240x240 px; Slice 86 of 155; Brain; Axial view
FLAIR MR image.
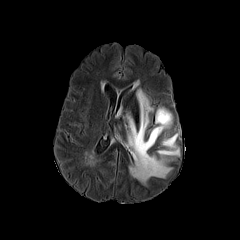
T1-weighted magnetic resonance.
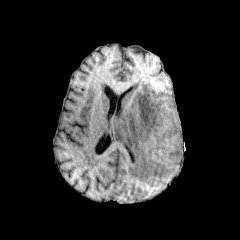
Post-contrast T1-weighted MR.
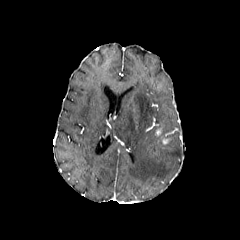
T2-weighted magnetic resonance.
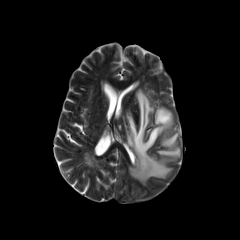
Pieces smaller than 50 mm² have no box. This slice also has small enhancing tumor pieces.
The peritumoral edema appears at <bbox>126, 89, 180, 183</bbox>.